FLAIR MR image.
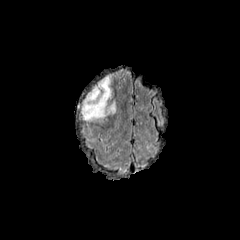
T1-weighted MR image.
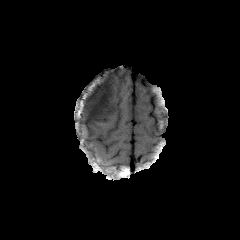
Post-contrast T1-weighted MRI.
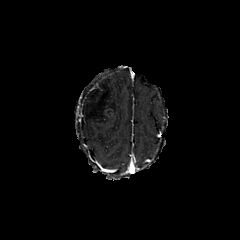
T2-weighted magnetic resonance.
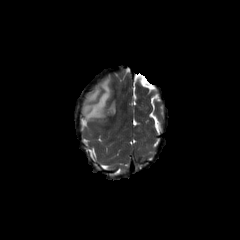
Head
<segmentation>
  <enhancing_tumor><box>103,109,113,116</box></enhancing_tumor>
  <peritumoral_edema><box>81,76,116,121</box></peritumoral_edema>
</segmentation>